Image width 240 mm, 1.00 mm slice spacing; Axial slice; Head; Slice index 49
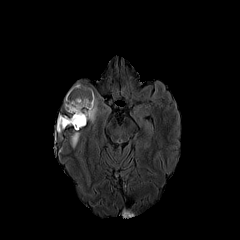
FLAIR MRI.
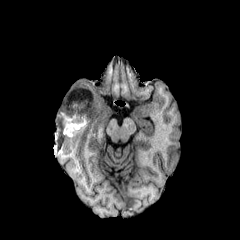
Same slice, T1-weighted magnetic resonance.
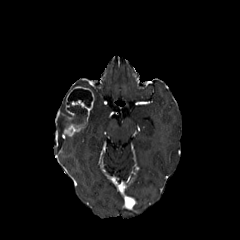
Same slice, post-contrast T1-weighted MRI.
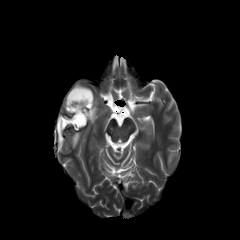
Same slice, T2-weighted MR image.
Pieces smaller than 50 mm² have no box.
- peritumoral edema: <box>70,132,80,147</box>, <box>89,97,98,123</box>
- necrotic tumor core: <box>57,89,92,134</box>
- enhancing tumor: <box>64,86,94,136</box>